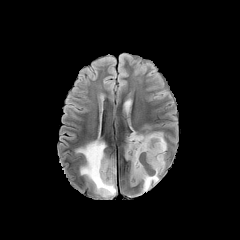
FLAIR MRI.
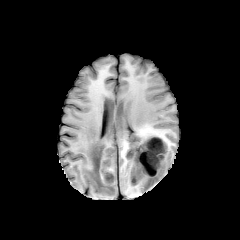
Same slice, T1-weighted MR image.
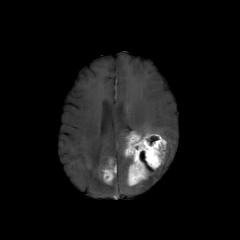
Post-contrast T1-weighted MR.
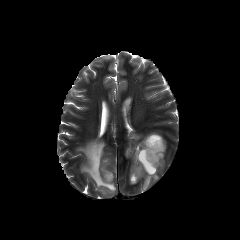
T2-weighted MR image.
Head
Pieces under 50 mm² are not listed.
Annotated regions:
- necrotic tumor core: [x1=140, y1=151, x2=155, y2=174]
- enhancing tumor: [x1=124, y1=131, x2=166, y2=185], [x1=101, y1=159, x2=116, y2=184]
- peritumoral edema: [x1=142, y1=125, x2=163, y2=138], [x1=141, y1=159, x2=165, y2=192], [x1=76, y1=139, x2=116, y2=197]